FLAIR MR image.
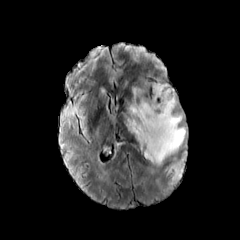
T1-weighted MRI.
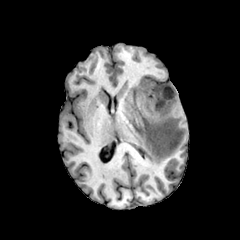
Post-contrast T1-weighted MR.
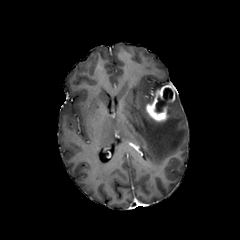
T2-weighted magnetic resonance.
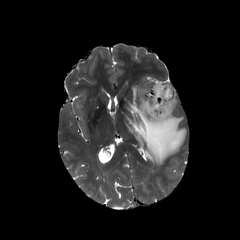
Findings:
• peritumoral edema: 126,87,186,165; 153,83,168,92
• necrotic tumor core: 156,88,172,112
• enhancing tumor: 146,85,175,121